FLAIR MR image.
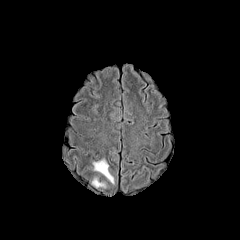
T1-weighted magnetic resonance.
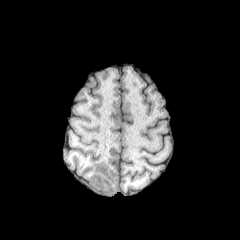
Post-contrast T1-weighted MR image.
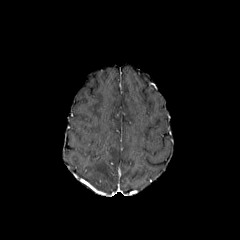
T2-weighted magnetic resonance.
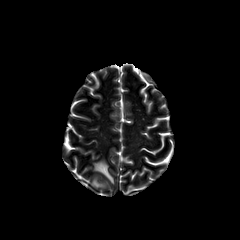
240x240 px.
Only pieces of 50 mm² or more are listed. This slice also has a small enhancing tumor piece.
<segmentation>
  <peritumoral_edema>box=[92, 177, 106, 187]; box=[93, 159, 114, 184]</peritumoral_edema>
</segmentation>